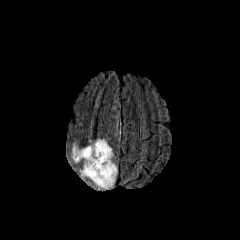
FLAIR MRI.
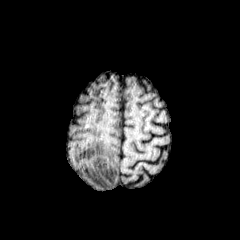
Same slice, T1-weighted MRI.
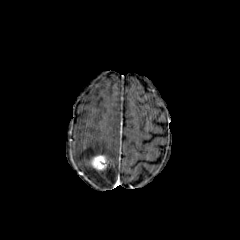
Post-contrast T1-weighted MR image.
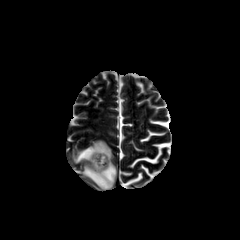
T2-weighted MR image.
240x240 px, Axial slice
enhancing tumor — left=90, top=155, right=108, bottom=170
peritumoral edema — left=72, top=139, right=117, bottom=188